240x240 px
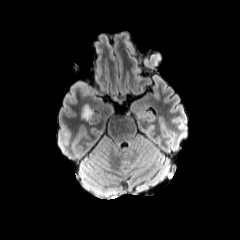
FLAIR MR image.
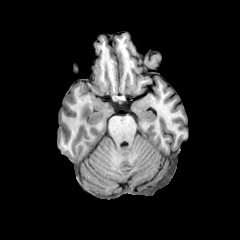
T1-weighted MRI.
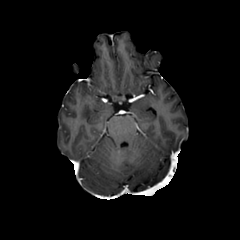
Post-contrast T1-weighted MRI.
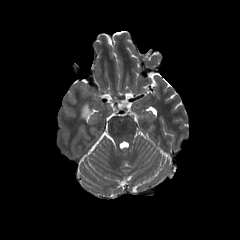
Same slice, T2-weighted MR.
<segmentation>
  <peritumoral_edema>82,105,91,118</peritumoral_edema>
</segmentation>